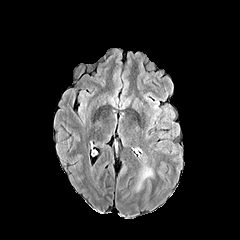
FLAIR magnetic resonance.
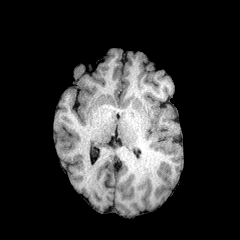
Same slice, T1-weighted magnetic resonance.
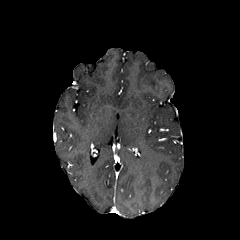
Post-contrast T1-weighted MRI.
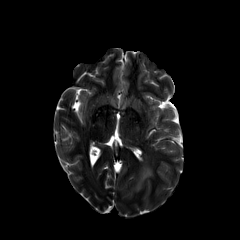
T2-weighted magnetic resonance.
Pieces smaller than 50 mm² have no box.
Annotated regions:
- peritumoral edema: (143, 168, 152, 178)